FLAIR magnetic resonance.
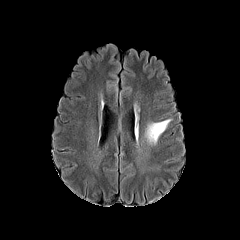
T1-weighted magnetic resonance.
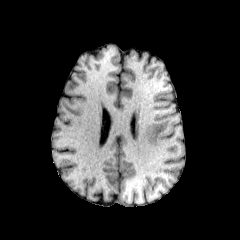
Post-contrast T1-weighted MR.
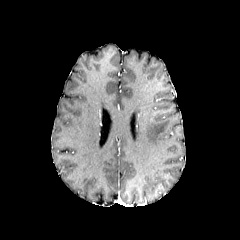
T2-weighted magnetic resonance.
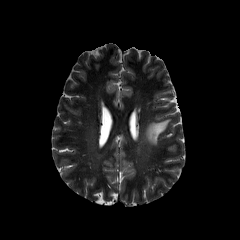
Brain
The peritumoral edema is located at bbox=[145, 119, 171, 145].